FLAIR MR image.
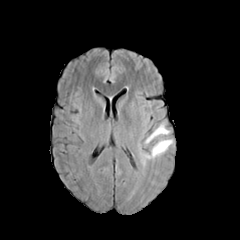
T1-weighted MRI.
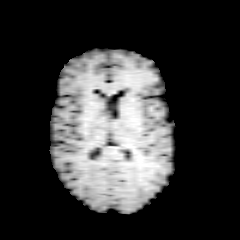
Post-contrast T1-weighted MR image.
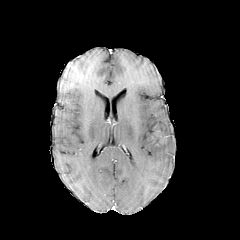
T2-weighted magnetic resonance.
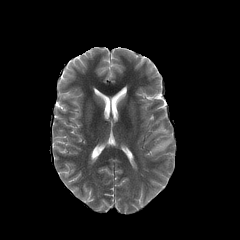
Head
<segmentation>
  <peritumoral_edema>[x1=142, y1=138, x2=172, y2=158], [x1=145, y1=124, x2=169, y2=143]</peritumoral_edema>
</segmentation>